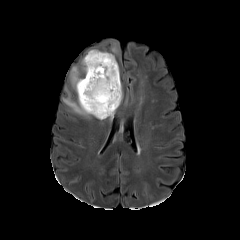
FLAIR MR.
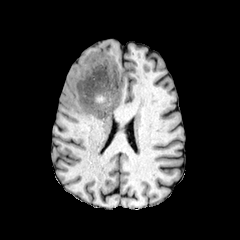
Same slice, T1-weighted magnetic resonance.
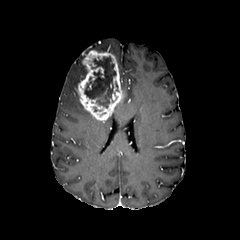
Same slice, post-contrast T1-weighted magnetic resonance.
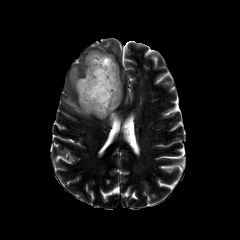
T2-weighted MR image of the same slice.
Brain, Axial view
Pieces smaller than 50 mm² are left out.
{"peritumoral_edema": ["63:64:91:117"], "enhancing_tumor": ["77:50:123:120"], "necrotic_tumor_core": ["84:56:116:107"]}